FLAIR MRI.
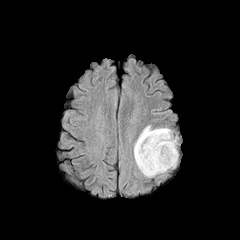
T1-weighted MR image.
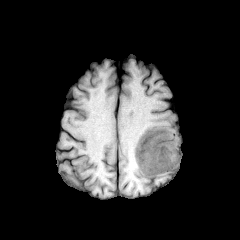
Post-contrast T1-weighted MRI.
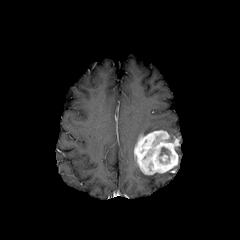
T2-weighted MR.
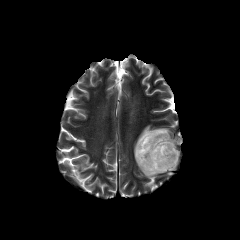
Image size 240x240
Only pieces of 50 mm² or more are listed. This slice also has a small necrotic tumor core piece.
peritumoral edema: 140, 125, 176, 140 | enhancing tumor: 134, 130, 179, 175